Axial plane
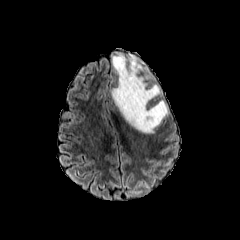
FLAIR MR image.
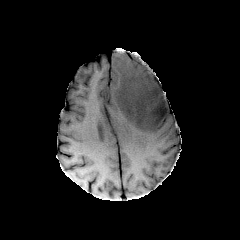
T1-weighted MR image of the same slice.
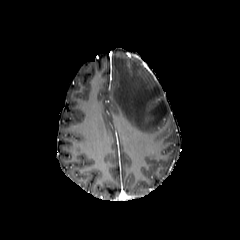
Post-contrast T1-weighted MR of the same slice.
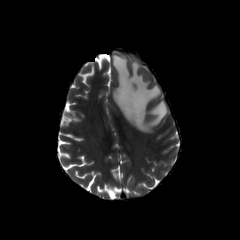
T2-weighted magnetic resonance of the same slice.
The peritumoral edema is bounded by 112 52 168 133.